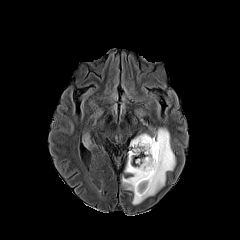
FLAIR MR image.
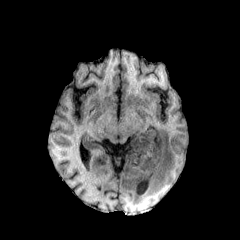
T1-weighted magnetic resonance.
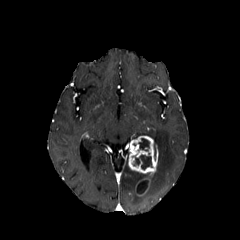
Post-contrast T1-weighted MR.
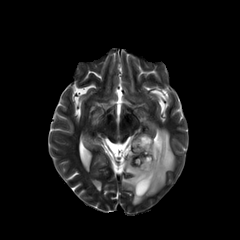
T2-weighted MR of the same slice.
Head
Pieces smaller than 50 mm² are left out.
{"necrotic_tumor_core": ["(left=139, top=138, right=149, bottom=150)", "(left=134, top=155, right=151, bottom=169)", "(left=137, top=180, right=148, bottom=194)"], "enhancing_tumor": ["(left=128, top=135, right=158, bottom=195)"], "peritumoral_edema": ["(left=83, top=133, right=91, bottom=146)", "(left=122, top=128, right=175, bottom=204)"]}